FLAIR MR.
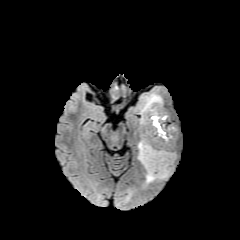
T1-weighted magnetic resonance.
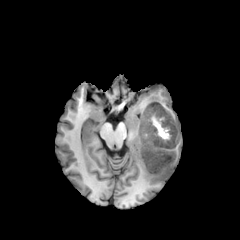
Post-contrast T1-weighted magnetic resonance.
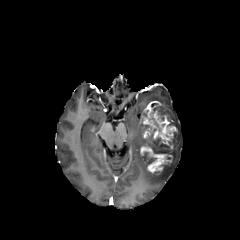
T2-weighted MRI.
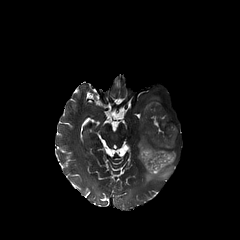
Axial slice. Head. 240x240 px.
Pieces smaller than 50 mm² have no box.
enhancing tumor at [141,101,164,140], [153,111,176,144], [140,142,173,173]
peritumoral edema at [138,134,175,183], [141,94,161,115]
necrotic tumor core at [144,103,174,154], [144,152,156,164]